FLAIR magnetic resonance.
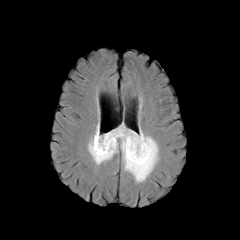
T1-weighted MRI.
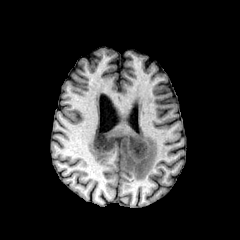
Post-contrast T1-weighted MR image.
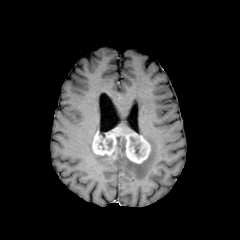
T2-weighted MRI.
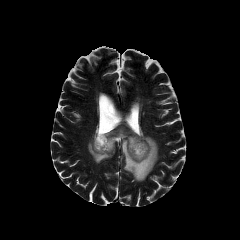
Axial plane, Head, 240x240 px
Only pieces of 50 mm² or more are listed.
The enhancing tumor lies within left=92, top=127, right=150, bottom=163. The largest necrotic tumor core region is at left=132, top=143, right=140, bottom=156. The largest peritumoral edema region is at left=87, top=129, right=158, bottom=182.